Head, Image width 240 mm, Axial view, Image size 240x240
FLAIR magnetic resonance.
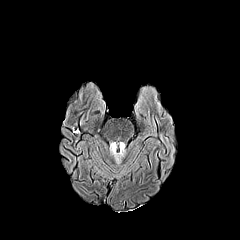
T1-weighted MR image.
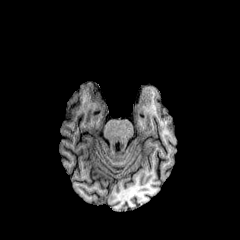
Post-contrast T1-weighted MRI.
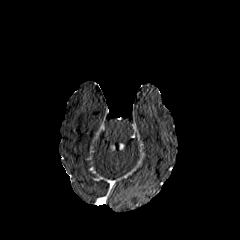
T2-weighted magnetic resonance.
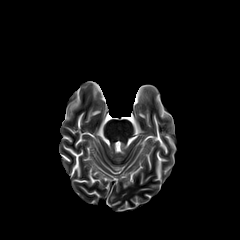
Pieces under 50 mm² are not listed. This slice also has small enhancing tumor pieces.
peritumoral edema = box=[110, 142, 125, 163]